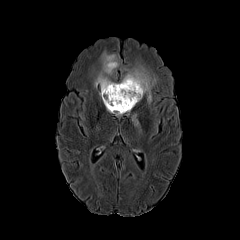
FLAIR MR.
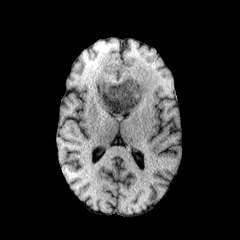
T1-weighted magnetic resonance.
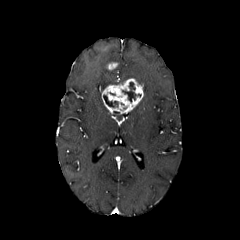
Post-contrast T1-weighted magnetic resonance.
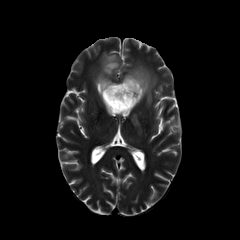
Same slice, T2-weighted MRI.
Image size 240x240; Head; Axial view
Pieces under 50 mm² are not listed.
<segmentation>
  <necrotic_tumor_core>x1=103 y1=95 x2=118 y2=107, x1=122 y1=82 x2=136 y2=102</necrotic_tumor_core>
  <enhancing_tumor>x1=101 y1=78 x2=143 y2=114, x1=106 y1=62 x2=117 y2=70</enhancing_tumor>
  <peritumoral_edema>x1=94 y1=52 x2=119 y2=91, x1=120 y1=65 x2=156 y2=103, x1=132 y1=114 x2=138 y2=126</peritumoral_edema>
</segmentation>